FLAIR MRI.
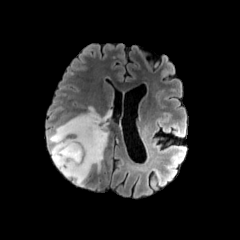
T1-weighted magnetic resonance.
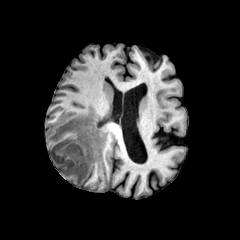
Post-contrast T1-weighted MRI.
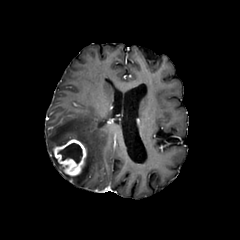
T2-weighted MRI.
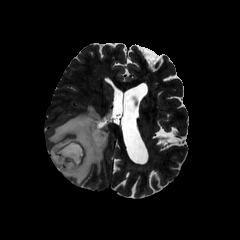
peritumoral edema: 48:107:108:185 | necrotic tumor core: 58:143:82:163 | enhancing tumor: 53:139:86:175